Axial plane
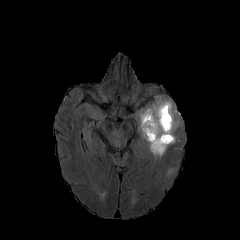
FLAIR magnetic resonance.
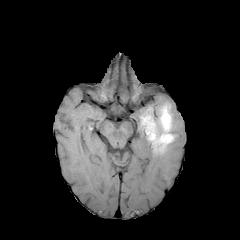
T1-weighted MRI.
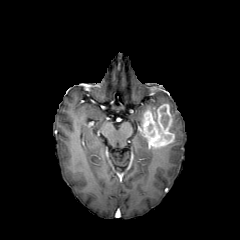
Post-contrast T1-weighted magnetic resonance.
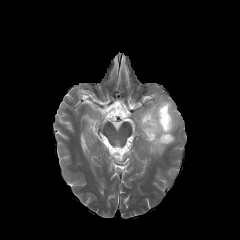
T2-weighted MR image of the same slice.
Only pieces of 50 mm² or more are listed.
The 2 largest peritumoral edema regions are bounded by 138 96 179 133, 149 137 175 156. The largest necrotic tumor core region appears at 161 107 169 128. The enhancing tumor is located at 142 104 174 148.